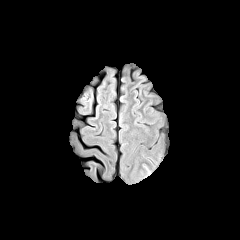
FLAIR MRI.
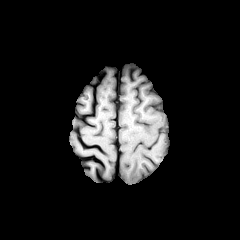
Same slice, T1-weighted magnetic resonance.
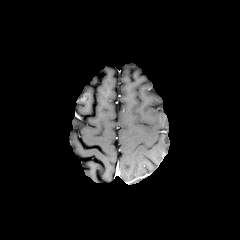
Same slice, post-contrast T1-weighted magnetic resonance.
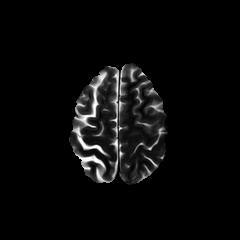
T2-weighted MR.
Head. Image size 240x240.
Segmented structures:
• peritumoral edema: rect(142, 164, 152, 178)